FLAIR MR image.
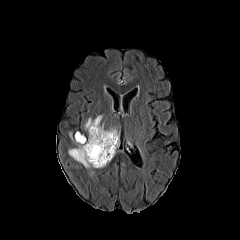
T1-weighted MR image.
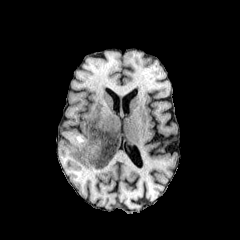
Post-contrast T1-weighted MR.
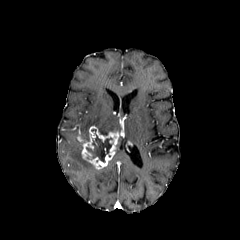
T2-weighted magnetic resonance.
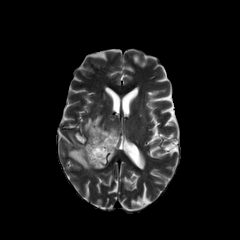
Axial plane; Head
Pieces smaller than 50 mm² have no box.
The 2 largest peritumoral edema regions are bounded by 68,133,94,169; 84,115,114,133. The largest necrotic tumor core region is located at 86,135,111,162. The largest enhancing tumor region appears at 81,126,119,169.